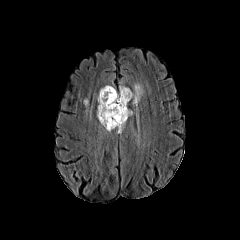
FLAIR magnetic resonance.
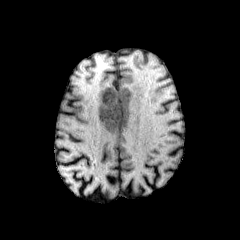
T1-weighted MRI of the same slice.
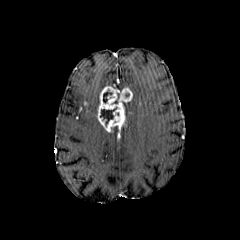
Post-contrast T1-weighted MRI.
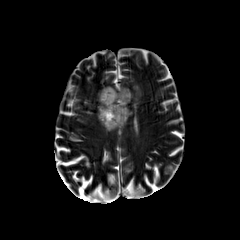
T2-weighted magnetic resonance.
Head
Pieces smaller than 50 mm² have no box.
enhancing tumor: box(96, 86, 132, 131) | peritumoral edema: box(133, 84, 142, 106) | necrotic tumor core: box(100, 107, 116, 124); box(103, 91, 112, 103)